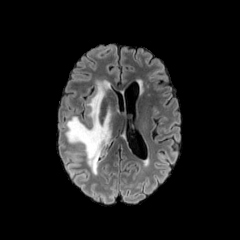
FLAIR MRI.
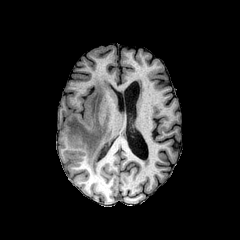
Same slice, T1-weighted MR.
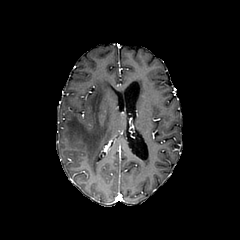
Post-contrast T1-weighted MR.
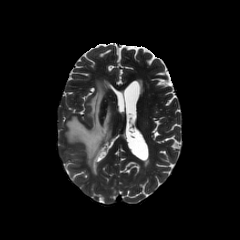
T2-weighted magnetic resonance.
Axial view. Image size 240x240.
The peritumoral edema lies within l=65, t=78, r=114, b=174.